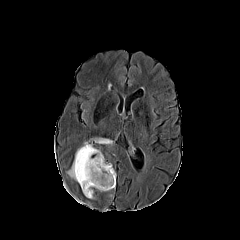
FLAIR MRI.
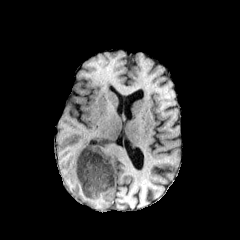
T1-weighted magnetic resonance.
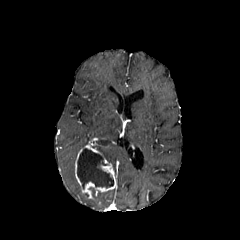
Post-contrast T1-weighted MRI.
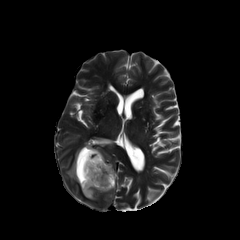
T2-weighted magnetic resonance.
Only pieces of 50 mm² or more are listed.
enhancing tumor: bbox(75, 143, 115, 198) | peritumoral edema: bbox(67, 148, 80, 180); bbox(90, 138, 111, 144) | necrotic tumor core: bbox(77, 148, 113, 188)